FLAIR MRI.
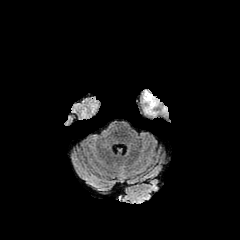
T1-weighted MR image.
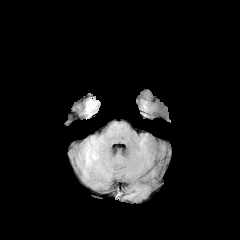
Post-contrast T1-weighted MR.
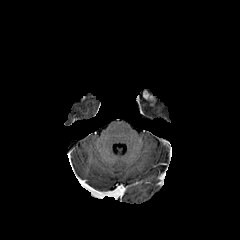
T2-weighted MRI.
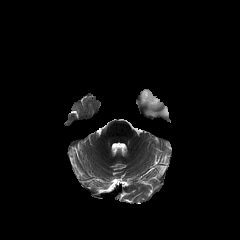
Brain
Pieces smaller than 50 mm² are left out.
enhancing tumor at bbox=[143, 90, 155, 105]
peritumoral edema at bbox=[141, 93, 168, 116]